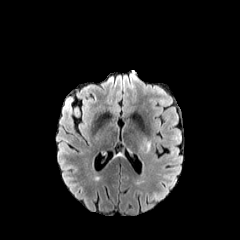
FLAIR MRI.
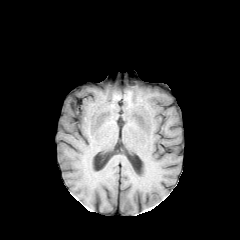
Same slice, T1-weighted magnetic resonance.
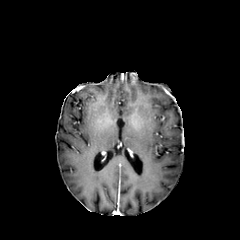
Post-contrast T1-weighted MR.
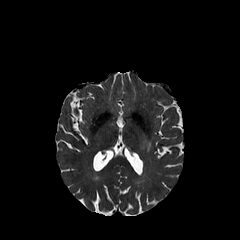
T2-weighted MR image.
Head. Axial plane. 240x240.
{"peritumoral_edema": ["box=[141, 140, 150, 152]"]}